Slice 101 of 155. 240x240. Axial slice. Brain.
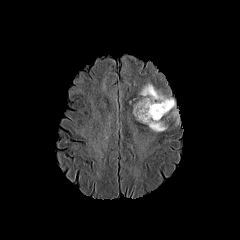
FLAIR magnetic resonance.
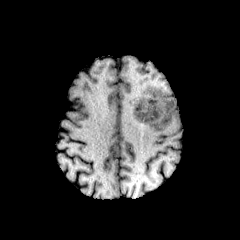
Same slice, T1-weighted MRI.
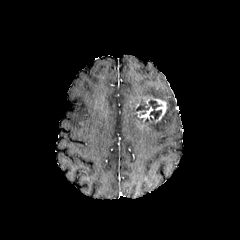
Same slice, post-contrast T1-weighted MR image.
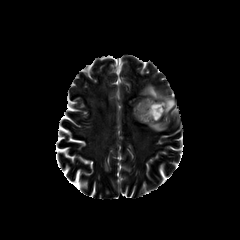
Same slice, T2-weighted magnetic resonance.
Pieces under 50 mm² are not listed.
The largest enhancing tumor region is located at left=136, top=96, right=167, bottom=122. The 3 largest peritumoral edema regions appear at left=173, top=111, right=179, bottom=124; left=140, top=83, right=175, bottom=115; left=133, top=104, right=167, bottom=131. The 2 largest necrotic tumor core regions are bounded by left=149, top=100, right=161, bottom=119; left=136, top=102, right=149, bottom=110.